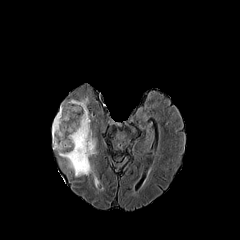
FLAIR MR image.
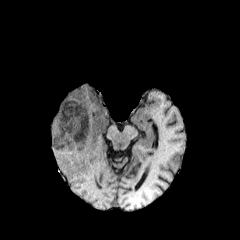
T1-weighted MR image.
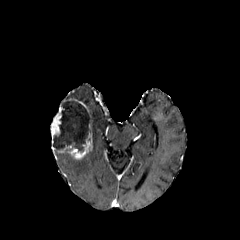
Post-contrast T1-weighted MR of the same slice.
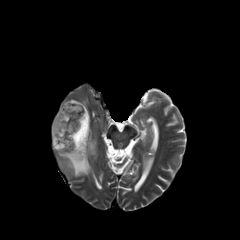
T2-weighted MR image.
Head. 240x240 px.
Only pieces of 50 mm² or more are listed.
The largest peritumoral edema region appears at 58,139,96,176. The largest necrotic tumor core region lies within 53,98,92,151. The 2 largest enhancing tumor regions appear at 51,104,64,145; 57,132,92,159.